FLAIR MR image.
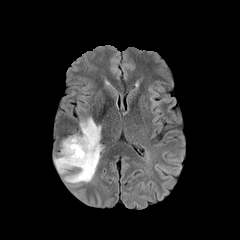
T1-weighted magnetic resonance.
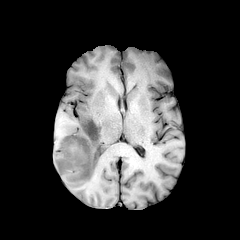
Post-contrast T1-weighted MR image.
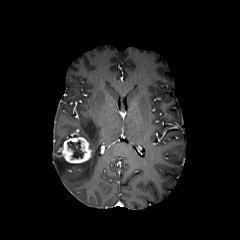
T2-weighted magnetic resonance.
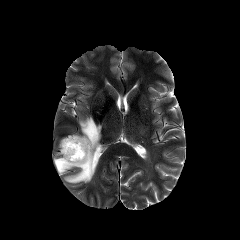
Axial plane. Head.
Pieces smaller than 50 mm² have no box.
The necrotic tumor core is located at (x1=67, y1=141, x2=83, y2=158). The largest peritumoral edema region appears at (x1=54, y1=117, x2=101, y2=183). The enhancing tumor is bounded by (x1=60, y1=136, x2=92, y2=163).